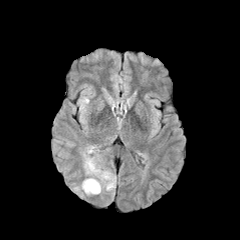
FLAIR MR.
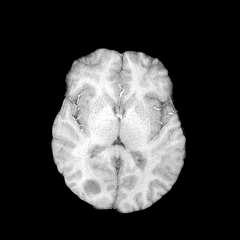
Same slice, T1-weighted MR.
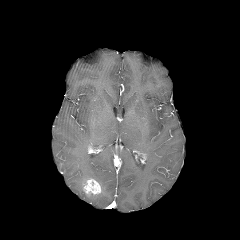
Post-contrast T1-weighted magnetic resonance.
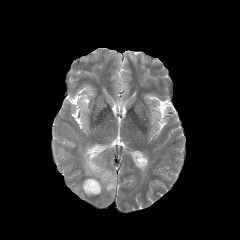
Same slice, T2-weighted MR image.
Axial view
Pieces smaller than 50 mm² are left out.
enhancing tumor: bounding box box(83, 179, 101, 195)
peritumoral edema: bounding box box(73, 145, 116, 199)